FLAIR magnetic resonance.
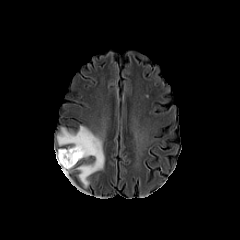
T1-weighted MR image.
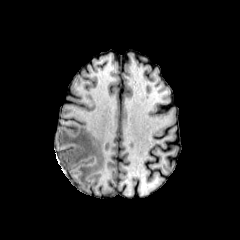
Post-contrast T1-weighted MR image.
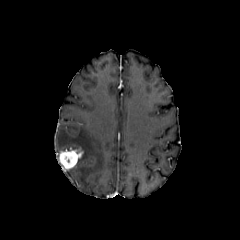
T2-weighted MR.
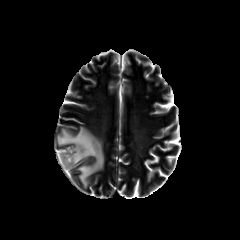
Brain. 240x240 px.
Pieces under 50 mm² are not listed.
Findings:
• peritumoral edema: bbox(57, 126, 104, 187)
• enhancing tumor: bbox(58, 147, 83, 171)